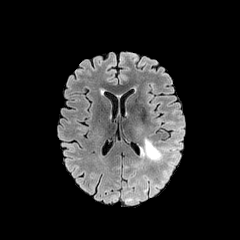
FLAIR MR.
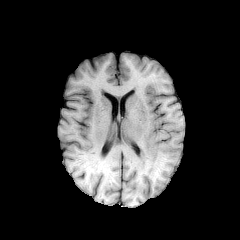
Same slice, T1-weighted MRI.
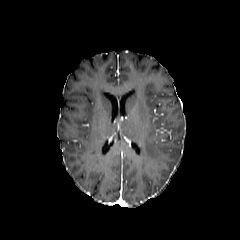
Post-contrast T1-weighted magnetic resonance of the same slice.
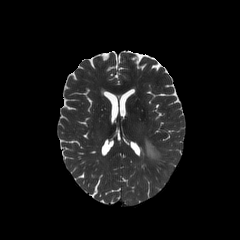
Same slice, T2-weighted MR image.
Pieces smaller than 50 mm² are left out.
peritumoral edema — {"x1": 141, "y1": 137, "x2": 163, "y2": 161}